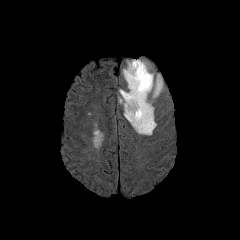
FLAIR MR.
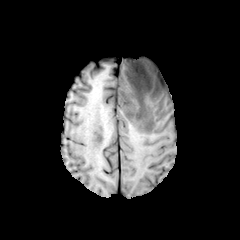
Same slice, T1-weighted MRI.
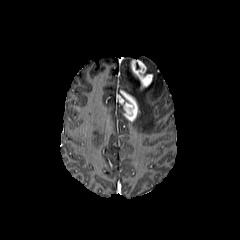
Post-contrast T1-weighted magnetic resonance.
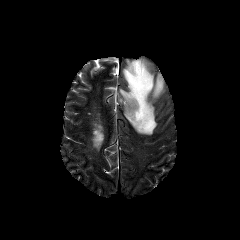
Same slice, T2-weighted MRI.
240x240 px; Head
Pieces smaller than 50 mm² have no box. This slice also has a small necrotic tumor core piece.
peritumoral edema at (122, 60, 163, 135)
enhancing tumor at (118, 90, 138, 121), (131, 60, 152, 88)